Axial plane, Image size 240x240
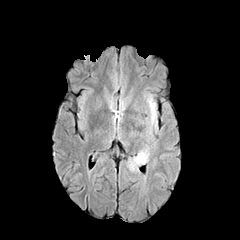
FLAIR MR image.
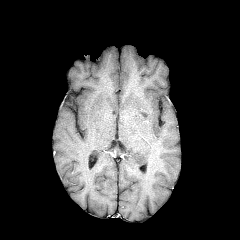
T1-weighted MR of the same slice.
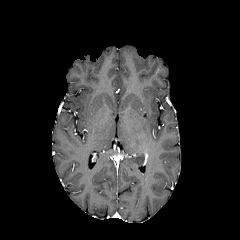
Post-contrast T1-weighted magnetic resonance of the same slice.
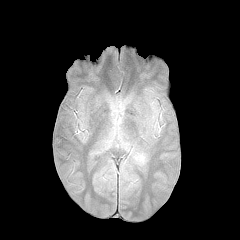
T2-weighted MRI.
{"peritumoral_edema": ["region(148, 99, 156, 123)", "region(133, 146, 148, 164)"]}